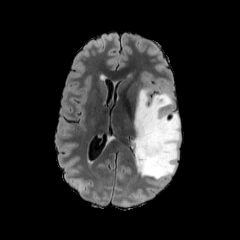
FLAIR MRI.
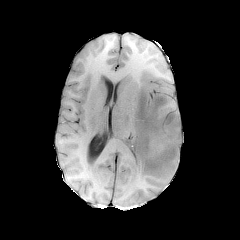
Same slice, T1-weighted MRI.
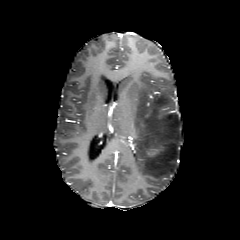
Post-contrast T1-weighted MR.
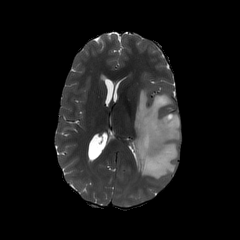
T2-weighted MRI.
Axial view; 240x240; Brain
peritumoral_edema:
  - {"x1": 132, "y1": 88, "x2": 180, "y2": 179}
enhancing_tumor:
  - {"x1": 147, "y1": 146, "x2": 163, "y2": 156}